Brain
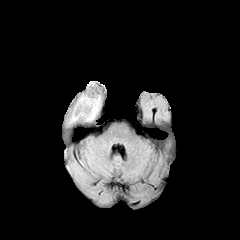
FLAIR MR image.
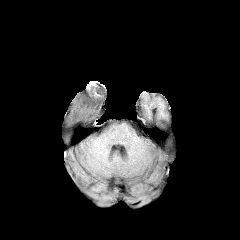
T1-weighted MR image.
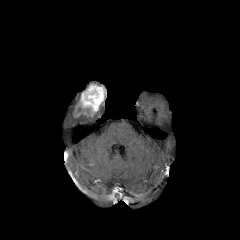
Same slice, post-contrast T1-weighted magnetic resonance.
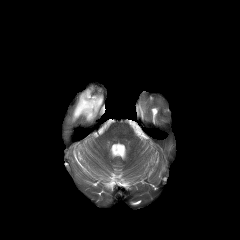
T2-weighted MRI of the same slice.
The enhancing tumor lies within 73, 84, 104, 117. The peritumoral edema is at 69, 107, 98, 123.